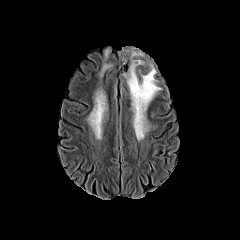
FLAIR MRI.
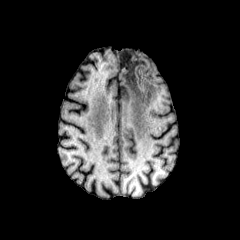
Same slice, T1-weighted MR.
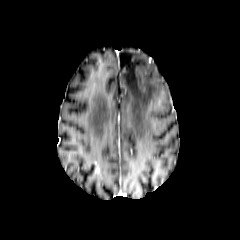
Same slice, post-contrast T1-weighted magnetic resonance.
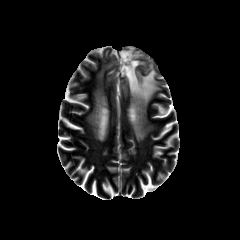
T2-weighted MR.
Brain, 240x240
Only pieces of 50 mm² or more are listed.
Segmented structures:
• peritumoral edema: rect(88, 92, 106, 130); rect(121, 50, 160, 140)